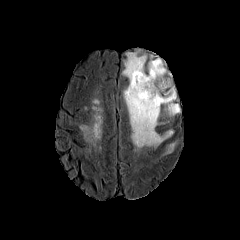
FLAIR magnetic resonance.
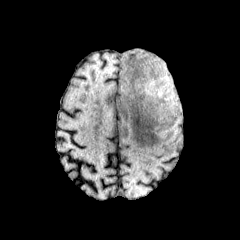
T1-weighted MRI of the same slice.
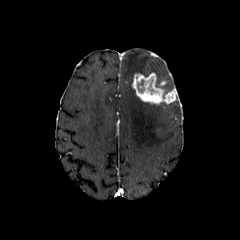
Post-contrast T1-weighted magnetic resonance of the same slice.
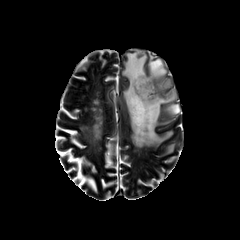
T2-weighted MR image.
Image size 240x240, Head
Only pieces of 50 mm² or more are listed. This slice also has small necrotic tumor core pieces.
Findings:
* peritumoral edema: [122, 50, 173, 149], [165, 143, 175, 153], [163, 102, 180, 116], [148, 56, 173, 90]
* enhancing tumor: [131, 72, 177, 104]